240x240. Head.
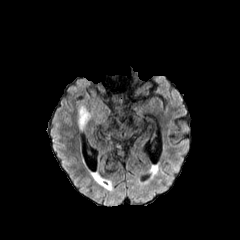
FLAIR MR.
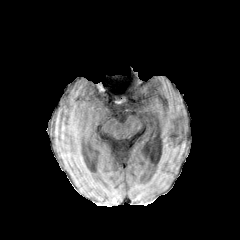
T1-weighted magnetic resonance.
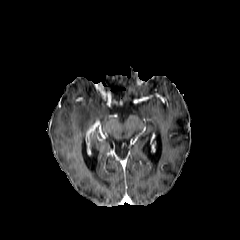
Post-contrast T1-weighted MRI.
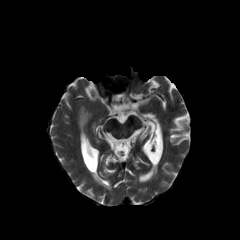
T2-weighted MR.
peritumoral edema: 79,106,90,129